Image size 240x240 | Axial view | Image width 240 mm, 1.00 mm slice spacing | Brain
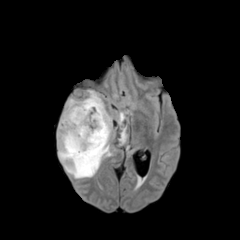
FLAIR MR image.
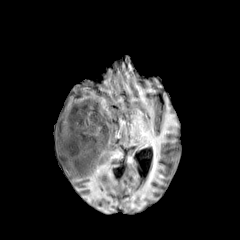
T1-weighted MR image of the same slice.
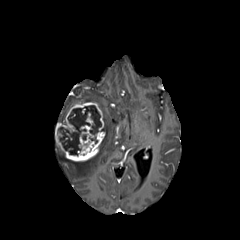
Post-contrast T1-weighted magnetic resonance.
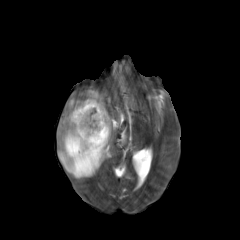
T2-weighted MR of the same slice.
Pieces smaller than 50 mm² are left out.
4 peritumoral edema regions are bounded by left=58, top=90, right=111, bottom=178; left=119, top=112, right=124, bottom=123; left=60, top=98, right=82, bottom=121; left=120, top=128, right=126, bottom=143. The largest necrotic tumor core region lies within left=58, top=105, right=101, bottom=155. The largest enhancing tumor region is at left=55, top=101, right=105, bottom=161.